Axial plane, Image size 240x240
FLAIR MR.
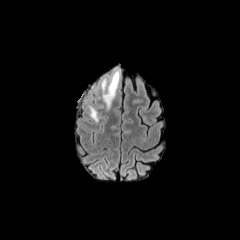
T1-weighted MR.
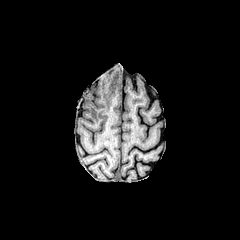
Post-contrast T1-weighted MR image.
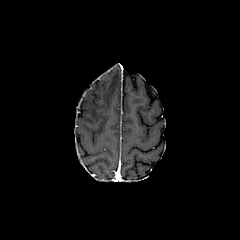
T2-weighted MR.
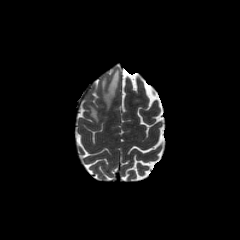
<segmentation>
  <peritumoral_edema>region(89, 106, 98, 122); region(102, 70, 119, 110)</peritumoral_edema>
</segmentation>